FLAIR magnetic resonance.
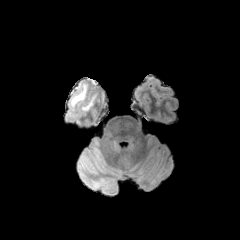
T1-weighted MR image.
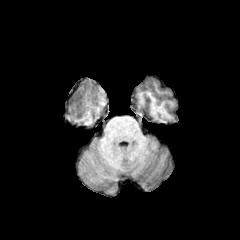
Post-contrast T1-weighted MR image.
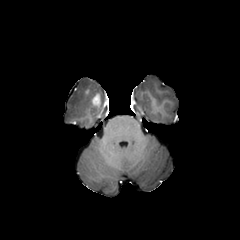
T2-weighted magnetic resonance.
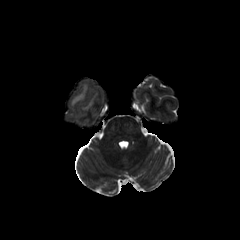
Head; Axial slice
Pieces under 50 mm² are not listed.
The largest enhancing tumor region appears at bbox(91, 93, 100, 106). The peritumoral edema lies within bbox(69, 81, 97, 111).